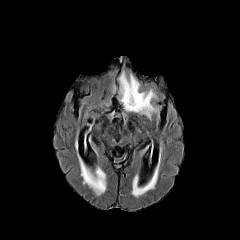
FLAIR magnetic resonance.
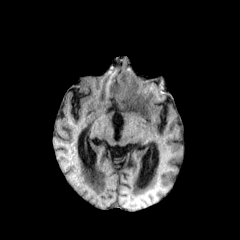
T1-weighted MR.
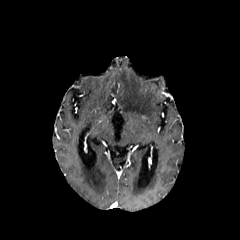
Same slice, post-contrast T1-weighted magnetic resonance.
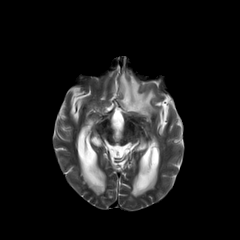
Same slice, T2-weighted MR.
peritumoral edema at bbox(80, 161, 106, 195); bbox(132, 177, 154, 195); bbox(119, 71, 157, 117)